FLAIR MRI.
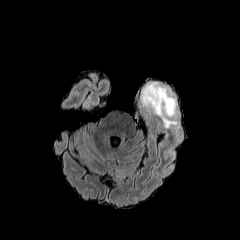
T1-weighted MR image.
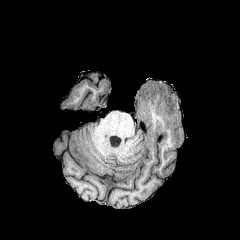
Post-contrast T1-weighted MRI.
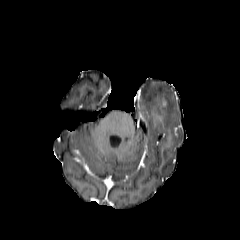
T2-weighted MRI.
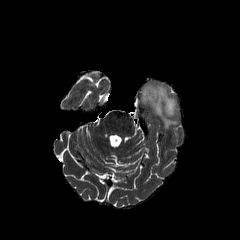
Axial plane, Head
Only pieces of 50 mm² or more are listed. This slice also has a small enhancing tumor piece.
<segmentation>
  <peritumoral_edema>x1=141, y1=83, x2=177, y2=128</peritumoral_edema>
</segmentation>